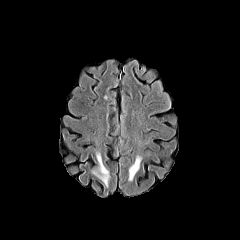
FLAIR MRI.
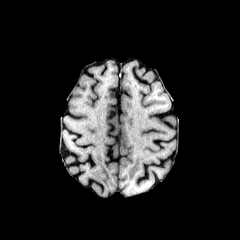
T1-weighted MRI of the same slice.
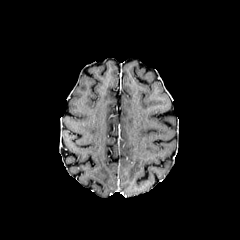
Post-contrast T1-weighted magnetic resonance of the same slice.
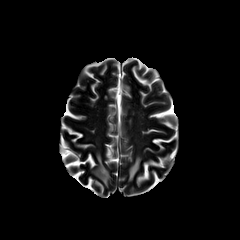
T2-weighted MRI of the same slice.
peritumoral edema: (left=129, top=156, right=141, bottom=180), (left=93, top=153, right=109, bottom=186)